Head; 240x240 px; Axial plane
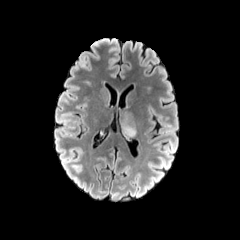
FLAIR MR image.
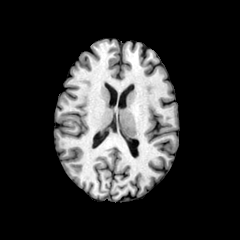
Same slice, T1-weighted MRI.
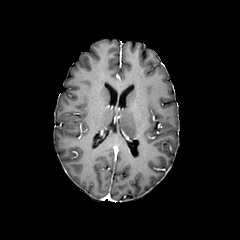
Same slice, post-contrast T1-weighted magnetic resonance.
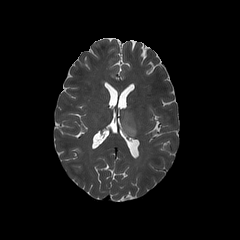
T2-weighted magnetic resonance of the same slice.
The peritumoral edema lies within 119,111,136,136.